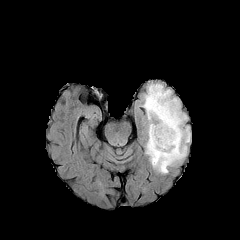
FLAIR MR.
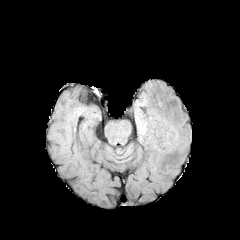
Same slice, T1-weighted MRI.
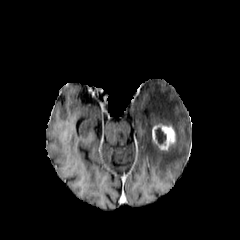
Post-contrast T1-weighted MR image.
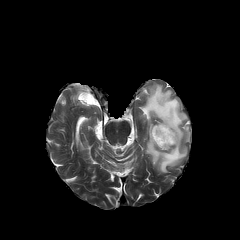
Same slice, T2-weighted MR image.
Annotated regions:
* enhancing tumor: l=152, t=124, r=175, b=150
* peritumoral edema: l=142, t=83, r=190, b=173
* necrotic tumor core: l=155, t=128, r=166, b=144